FLAIR MR.
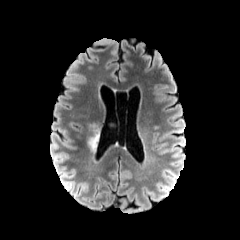
T1-weighted magnetic resonance.
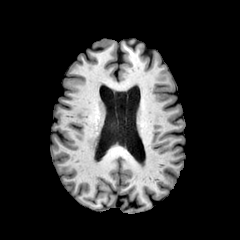
Post-contrast T1-weighted MR.
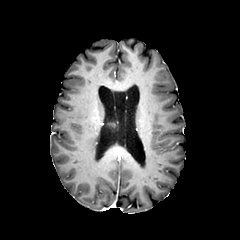
T2-weighted MR image.
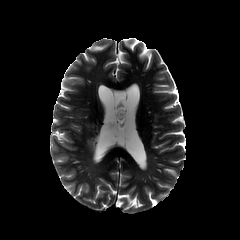
240x240 px.
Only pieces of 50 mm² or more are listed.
peritumoral_edema:
  - {"x1": 87, "y1": 134, "x2": 98, "y2": 151}